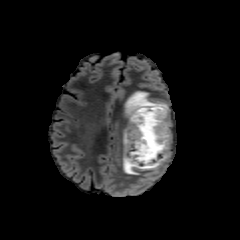
FLAIR MR.
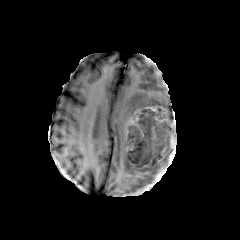
Same slice, T1-weighted MR.
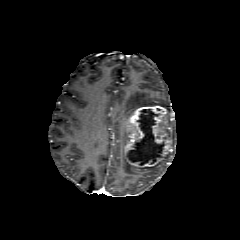
Same slice, post-contrast T1-weighted MRI.
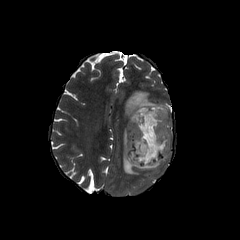
Same slice, T2-weighted MR.
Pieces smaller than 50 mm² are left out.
* peritumoral edema: 124,91,168,119; 122,156,139,174; 137,164,161,176
* necrotic tumor core: 127,109,162,165
* enhancing tumor: 123,105,172,168